Axial slice
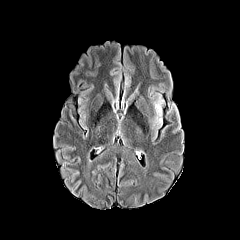
FLAIR MRI.
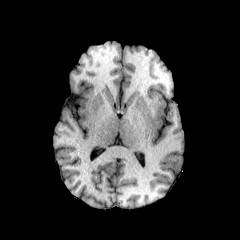
Same slice, T1-weighted MRI.
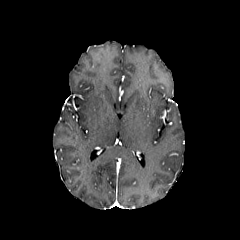
Same slice, post-contrast T1-weighted MR.
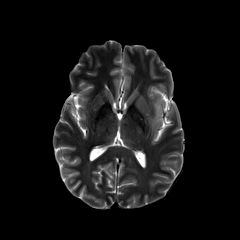
T2-weighted magnetic resonance.
{
  "peritumoral_edema": [
    "153:96:162:125"
  ]
}